Brain. Slice index 66.
FLAIR MRI.
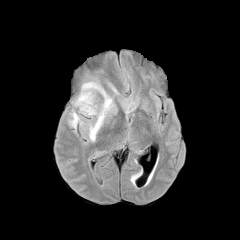
T1-weighted MRI.
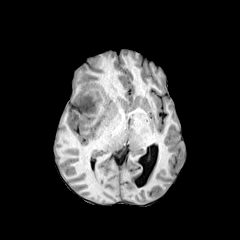
Post-contrast T1-weighted MR.
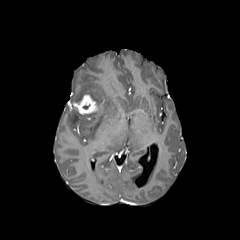
T2-weighted magnetic resonance.
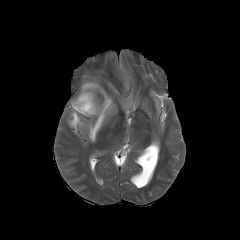
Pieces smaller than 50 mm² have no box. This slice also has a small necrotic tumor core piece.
The 2 largest peritumoral edema regions are bounded by 74, 82, 113, 141; 70, 112, 82, 127. The enhancing tumor lies within 69, 94, 98, 114.